FLAIR MR.
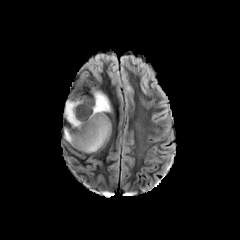
T1-weighted MRI.
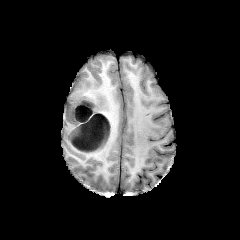
Post-contrast T1-weighted MR.
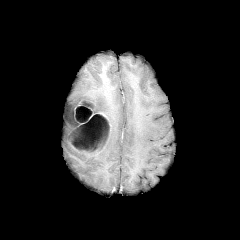
T2-weighted magnetic resonance.
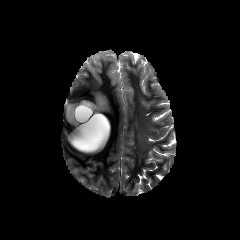
Image size 240x240 | Brain | Axial view
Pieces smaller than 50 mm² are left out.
enhancing_tumor:
  - bbox(67, 101, 111, 153)
peritumoral_edema:
  - bbox(64, 100, 79, 127)
  - bbox(93, 91, 111, 113)
necrotic_tumor_core:
  - bbox(71, 114, 108, 151)
  - bbox(75, 106, 92, 121)